Slice 82/155, Brain, 240x240 px
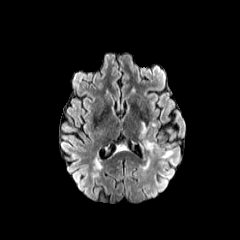
FLAIR MR image.
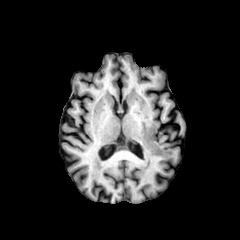
T1-weighted MR.
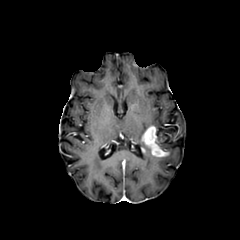
Post-contrast T1-weighted MR.
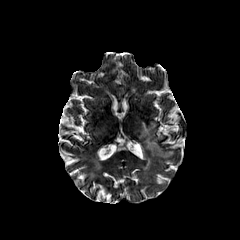
Same slice, T2-weighted MRI.
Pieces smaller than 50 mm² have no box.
enhancing_tumor:
  - [x1=142, y1=126, x2=169, y2=156]
peritumoral_edema:
  - [x1=143, y1=159, x2=150, y2=170]
  - [x1=160, y1=150, x2=173, y2=158]
  - [x1=140, y1=122, x2=155, y2=138]